FLAIR MR.
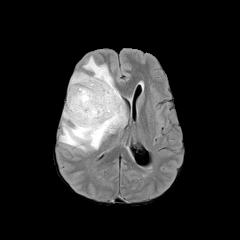
T1-weighted MR.
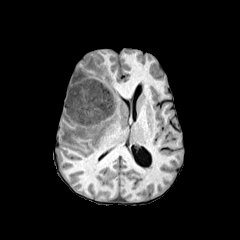
Post-contrast T1-weighted magnetic resonance.
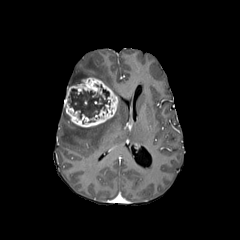
T2-weighted magnetic resonance.
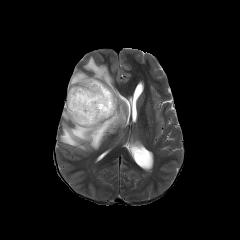
Head, 240x240
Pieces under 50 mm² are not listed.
necrotic tumor core at bbox(68, 85, 110, 118)
enhancing tumor at bbox(64, 77, 118, 127)
peritumoral edema at bbox(60, 56, 126, 151)